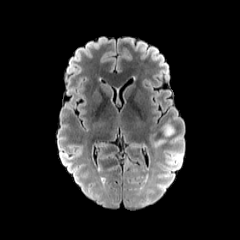
FLAIR magnetic resonance.
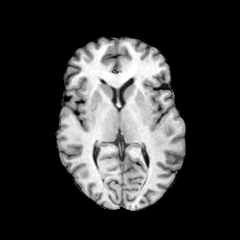
T1-weighted magnetic resonance.
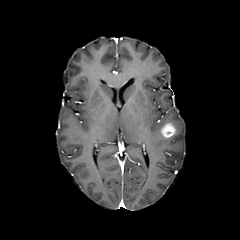
Same slice, post-contrast T1-weighted MR image.
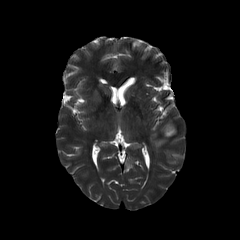
T2-weighted MR image.
Head | 240x240 | Axial slice
<segmentation>
  <peritumoral_edema>(154,138,167,146)</peritumoral_edema>
  <enhancing_tumor>(160,122,175,137)</enhancing_tumor>
</segmentation>